FLAIR MR image.
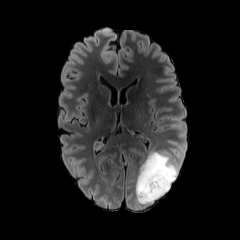
T1-weighted magnetic resonance.
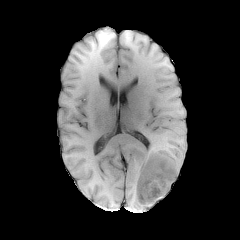
Post-contrast T1-weighted MR image.
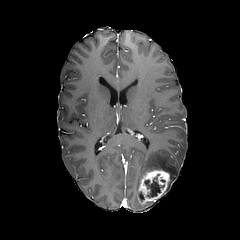
T2-weighted MR image.
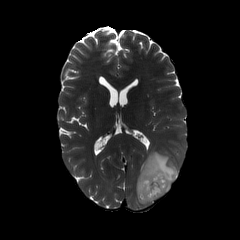
Axial slice; 240x240 px; Head
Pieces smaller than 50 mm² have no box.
The enhancing tumor is located at (left=138, top=169, right=169, bottom=203). The peritumoral edema is bounded by (left=135, top=151, right=178, bottom=206). The largest necrotic tumor core region lies within (left=144, top=177, right=164, bottom=197).